FLAIR magnetic resonance.
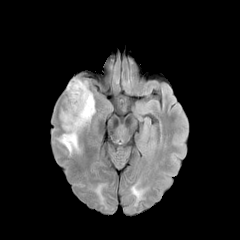
T1-weighted magnetic resonance.
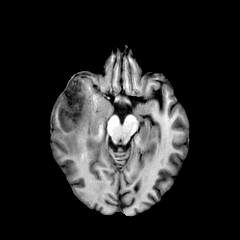
Post-contrast T1-weighted MR image.
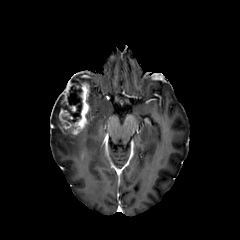
T2-weighted magnetic resonance.
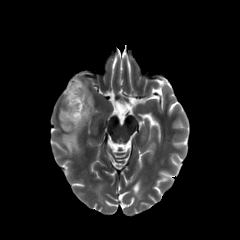
Axial slice, Brain, Image size 240x240
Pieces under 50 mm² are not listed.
Annotated regions:
- peritumoral edema: [x1=86, y1=91, x2=95, y2=122], [x1=60, y1=133, x2=79, y2=154]
- necrotic tumor core: [x1=62, y1=82, x2=82, y2=122]
- enhancing tumor: [x1=59, y1=79, x2=89, y2=135]